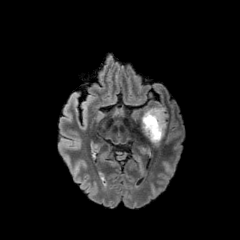
FLAIR MR.
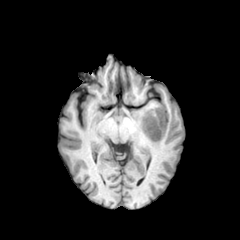
T1-weighted magnetic resonance.
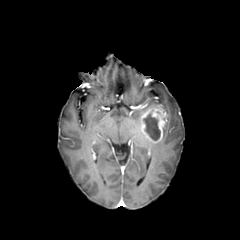
Post-contrast T1-weighted MR image of the same slice.
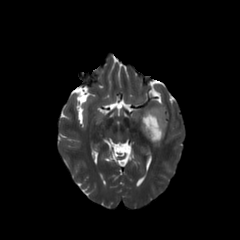
T2-weighted MRI.
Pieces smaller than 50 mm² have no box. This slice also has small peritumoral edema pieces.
<segmentation>
  <necrotic_tumor_core>144,113,160,140</necrotic_tumor_core>
  <enhancing_tumor>139,105,168,143</enhancing_tumor>
</segmentation>